Brain. Axial view. Slice index 96. 240x240.
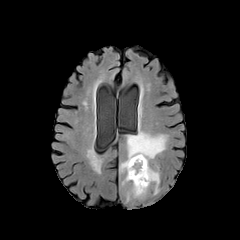
FLAIR magnetic resonance.
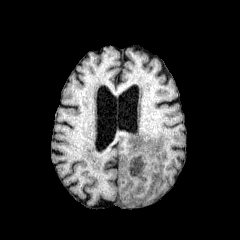
T1-weighted MR image.
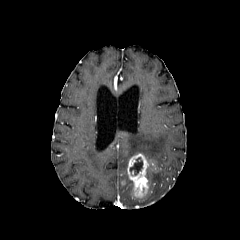
Post-contrast T1-weighted magnetic resonance.
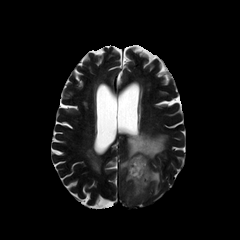
T2-weighted MR image.
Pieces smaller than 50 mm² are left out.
enhancing tumor: box(127, 153, 149, 198)
peritumoral edema: box(147, 167, 159, 194); box(120, 130, 167, 171)
necrotic tumor core: box(130, 157, 142, 175)